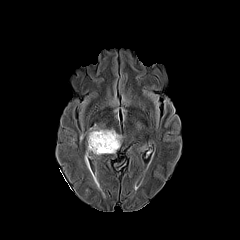
FLAIR MR image.
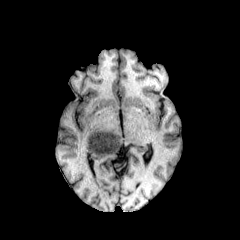
T1-weighted MRI.
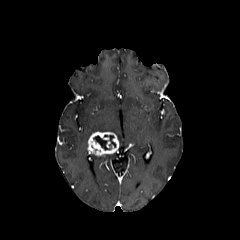
Post-contrast T1-weighted MR.
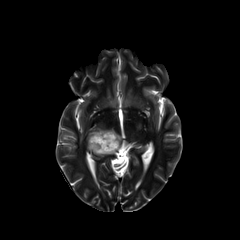
Same slice, T2-weighted MRI.
Axial view; Brain
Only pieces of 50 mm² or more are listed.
{"enhancing_tumor": ["(left=87, top=132, right=118, bottom=155)"], "peritumoral_edema": ["(left=88, top=124, right=115, bottom=137)"], "necrotic_tumor_core": ["(left=93, top=135, right=110, bottom=150)"]}